FLAIR MRI.
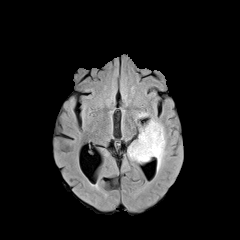
T1-weighted MR image.
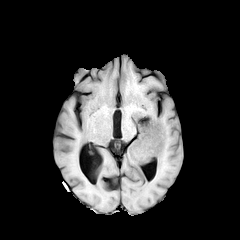
Post-contrast T1-weighted MR image.
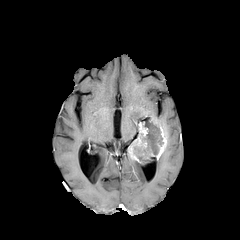
T2-weighted magnetic resonance.
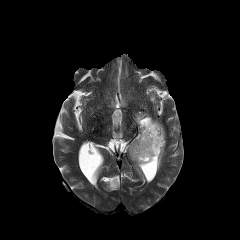
Axial slice; Brain
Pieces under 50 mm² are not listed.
Annotated regions:
• necrotic tumor core: region(134, 121, 162, 161)
• peritumoral edema: region(135, 112, 148, 124); region(157, 148, 166, 172)
• enhancing tumor: region(128, 122, 147, 161); region(149, 118, 166, 159)